Head | Axial view | Image width 240 mm, 1.00 mm slice spacing | 240x240
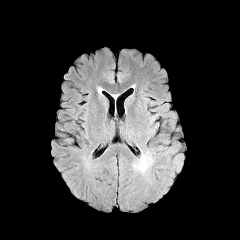
FLAIR MR image.
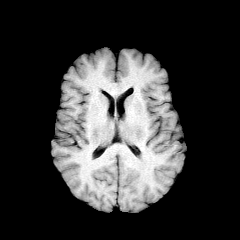
Same slice, T1-weighted MR image.
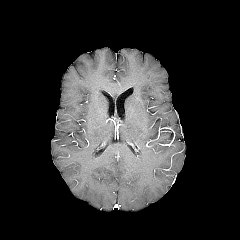
Post-contrast T1-weighted MRI.
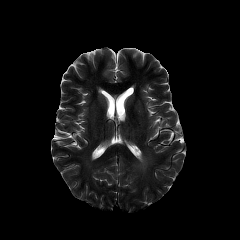
T2-weighted MRI.
Segmented structures:
* peritumoral edema: x1=137, y1=156, x2=147, y2=170